Slice 118 of 155, 240x240 px, Brain, Axial plane, Image width 240 mm, 1.00 mm slice spacing
FLAIR MRI.
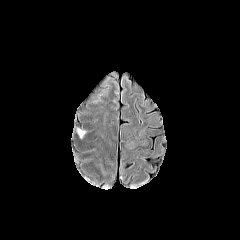
T1-weighted MR image.
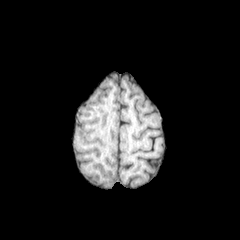
Post-contrast T1-weighted MR image.
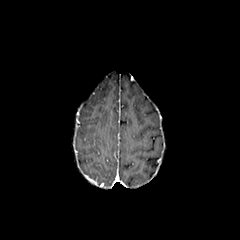
T2-weighted MRI.
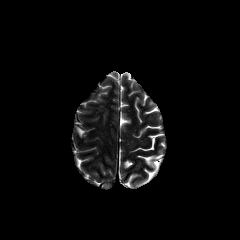
Segmented structures:
- peritumoral edema: 77:128:85:137